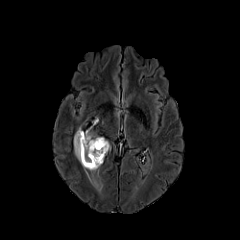
FLAIR MR.
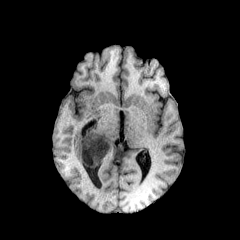
Same slice, T1-weighted MR.
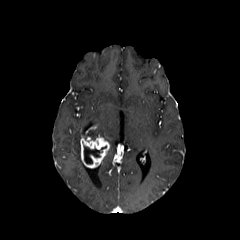
Post-contrast T1-weighted MRI.
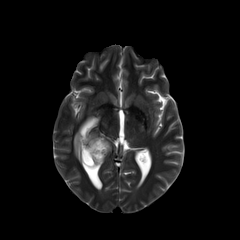
T2-weighted MR image of the same slice.
Image size 240x240; Axial view
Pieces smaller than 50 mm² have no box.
The necrotic tumor core is at x1=84, y1=146, x2=106, y2=164. The largest peritumoral edema region is at x1=73, y1=126, x2=98, y2=170. The largest enhancing tumor region appears at x1=80, y1=135, x2=110, y2=168.